FLAIR MR.
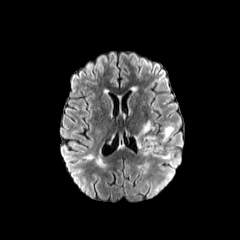
T1-weighted magnetic resonance.
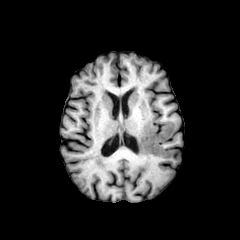
Post-contrast T1-weighted MR.
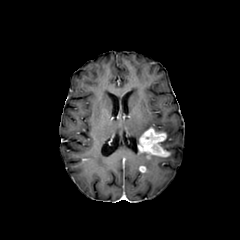
T2-weighted MRI.
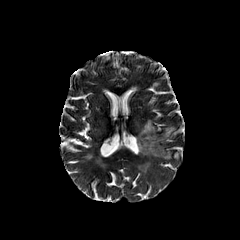
240x240, Head
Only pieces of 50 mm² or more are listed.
peritumoral edema: (163, 124, 174, 141), (135, 120, 154, 146) | enhancing tumor: (138, 127, 170, 158)